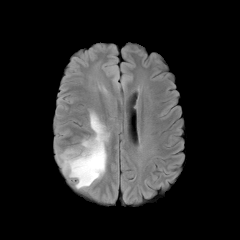
FLAIR MRI.
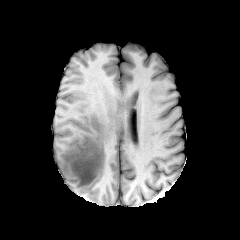
T1-weighted MRI of the same slice.
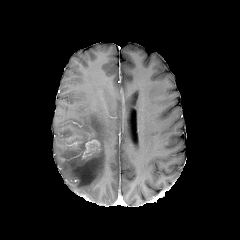
Post-contrast T1-weighted MR of the same slice.
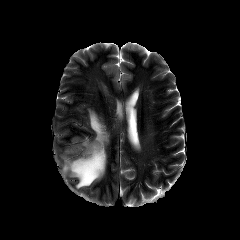
T2-weighted MRI.
Brain. Axial slice.
peritumoral edema: bounding box [60,111,109,188]
enhancing tumor: bounding box [78,140,100,160], [70,141,81,149]